FLAIR magnetic resonance.
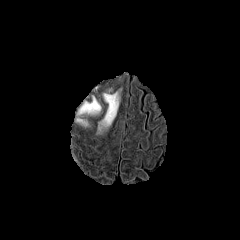
T1-weighted MRI.
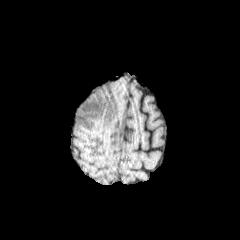
Post-contrast T1-weighted MRI.
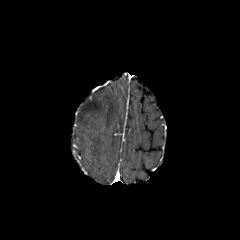
T2-weighted MRI.
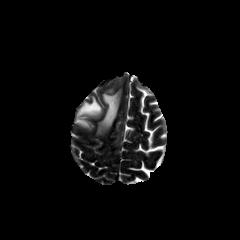
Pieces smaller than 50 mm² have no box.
peritumoral edema — {"x1": 74, "y1": 94, "x2": 101, "y2": 127}, {"x1": 96, "y1": 87, "x2": 123, "y2": 134}